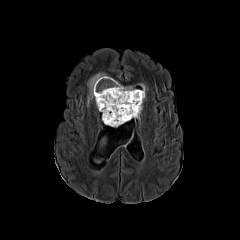
FLAIR MR.
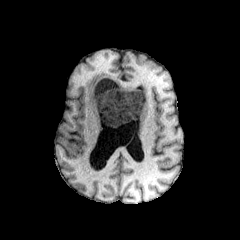
T1-weighted MR image.
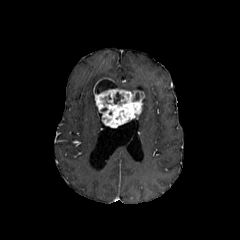
Same slice, post-contrast T1-weighted MR image.
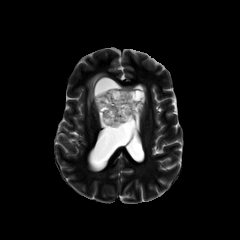
Same slice, T2-weighted MRI.
Axial slice
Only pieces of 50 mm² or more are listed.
The enhancing tumor is at <bbox>93, 78, 144, 127</bbox>. The largest peritumoral edema region is located at <bbox>87, 73, 138, 106</bbox>. The 2 largest necrotic tumor core regions are located at <bbox>114, 92, 123, 103</bbox>, <bbox>95, 79, 117, 93</bbox>.